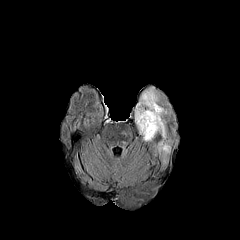
FLAIR MR.
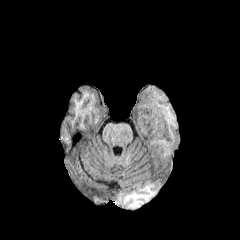
T1-weighted MR image.
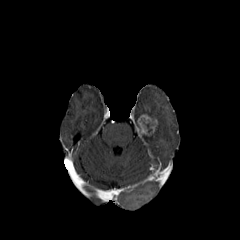
Post-contrast T1-weighted MR.
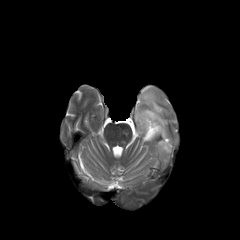
T2-weighted magnetic resonance.
Axial slice
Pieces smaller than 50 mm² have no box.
enhancing tumor: bounding box rect(137, 114, 157, 135)
necrotic tumor core: bounding box rect(141, 119, 153, 132)
peritumoral edema: bounding box rect(134, 85, 172, 170)